Image width 240 mm
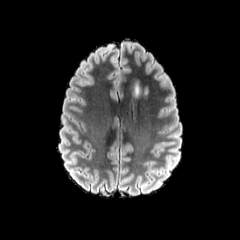
FLAIR MRI.
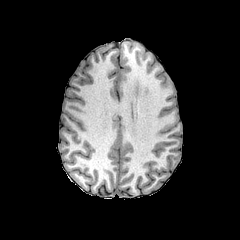
T1-weighted MR.
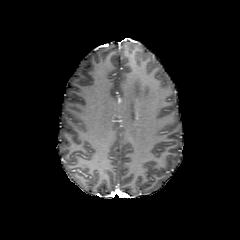
Post-contrast T1-weighted MR.
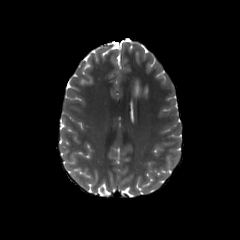
T2-weighted MR image.
peritumoral edema at x1=135 y1=83 x2=140 y2=95